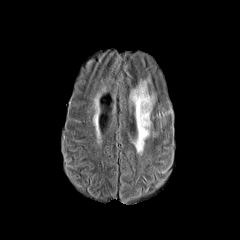
FLAIR MR.
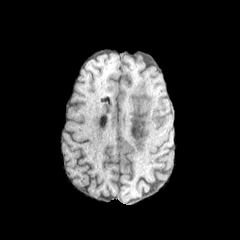
T1-weighted MRI of the same slice.
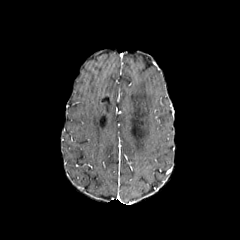
Same slice, post-contrast T1-weighted MR.
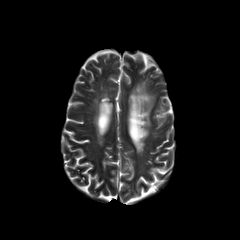
T2-weighted magnetic resonance of the same slice.
Head, 240x240
{
  "peritumoral_edema": [
    {"x1": 130, "y1": 80, "x2": 153, "y2": 153}
  ]
}